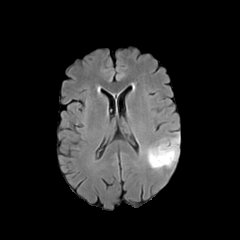
FLAIR MR.
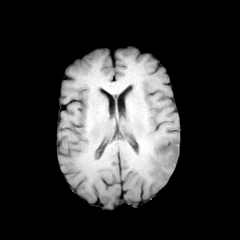
Same slice, T1-weighted magnetic resonance.
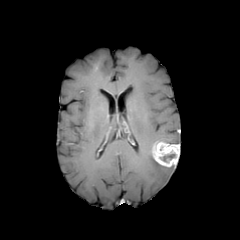
Post-contrast T1-weighted MR image.
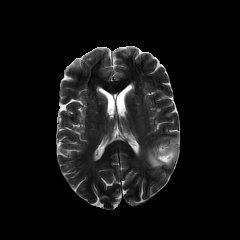
Same slice, T2-weighted magnetic resonance.
Brain; 240x240
{
  "enhancing_tumor": [
    "x1=152 y1=141 x2=179 y2=166"
  ],
  "peritumoral_edema": [
    "x1=145 y1=145 x2=164 y2=170",
    "x1=157 y1=133 x2=179 y2=143"
  ],
  "necrotic_tumor_core": [
    "x1=159 y1=150 x2=175 y2=161"
  ]
}